FLAIR MR.
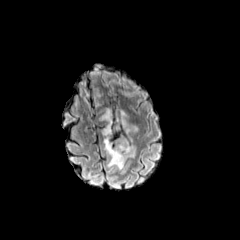
T1-weighted MR.
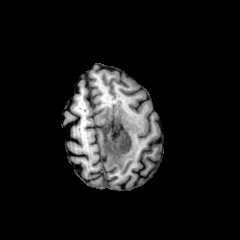
Post-contrast T1-weighted MR.
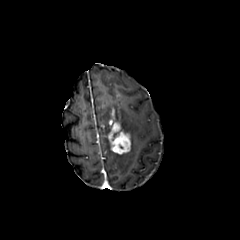
T2-weighted magnetic resonance.
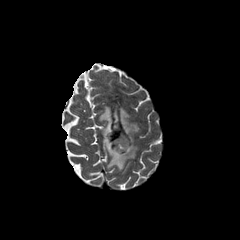
Head; Axial view
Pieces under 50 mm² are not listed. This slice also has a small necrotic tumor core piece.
<segmentation>
  <peritumoral_edema>l=99, t=106, r=138, b=169</peritumoral_edema>
  <enhancing_tumor>l=107, t=118, r=130, b=154</enhancing_tumor>
</segmentation>